FLAIR MRI.
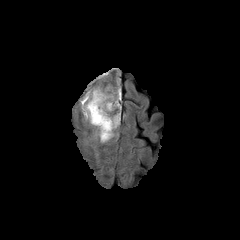
T1-weighted MR image.
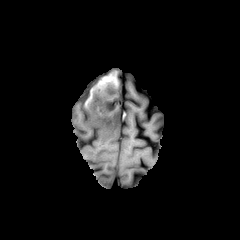
Post-contrast T1-weighted MRI.
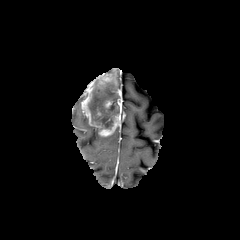
T2-weighted magnetic resonance.
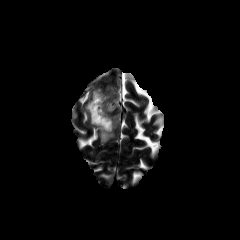
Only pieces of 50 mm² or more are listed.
The largest peritumoral edema region is at box=[96, 129, 115, 143]. The necrotic tumor core is at box=[88, 80, 119, 129]. The largest enhancing tumor region lies within box=[81, 73, 121, 136].